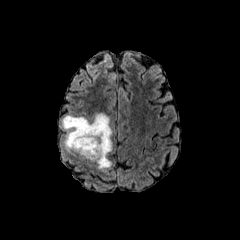
FLAIR MR.
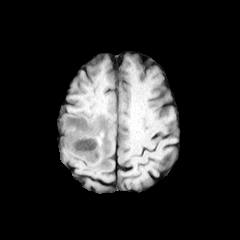
Same slice, T1-weighted MR image.
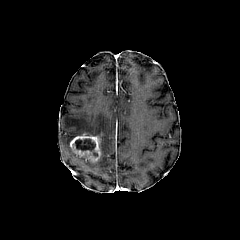
Same slice, post-contrast T1-weighted MRI.
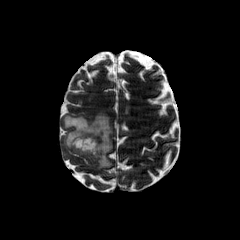
T2-weighted MR.
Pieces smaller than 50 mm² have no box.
peritumoral edema: [62, 113, 112, 169] | necrotic tumor core: [75, 139, 97, 156] | enhancing tumor: [69, 133, 101, 162]